Brain | Slice 75/155 | Axial view | 240x240
FLAIR MRI.
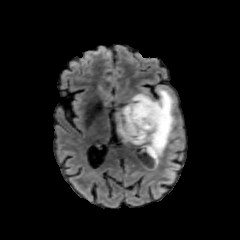
T1-weighted MR image.
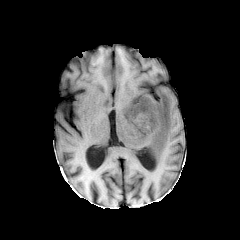
Post-contrast T1-weighted MRI.
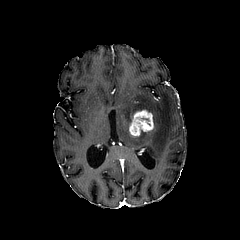
T2-weighted MR image.
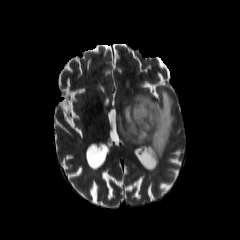
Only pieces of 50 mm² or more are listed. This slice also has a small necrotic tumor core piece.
peritumoral_edema:
  - bbox=[114, 88, 174, 171]
enhancing_tumor:
  - bbox=[129, 109, 154, 136]